FLAIR MR image.
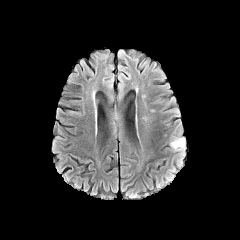
T1-weighted MR.
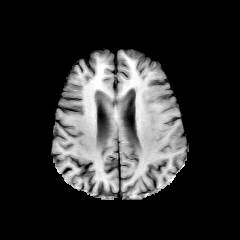
Post-contrast T1-weighted MR.
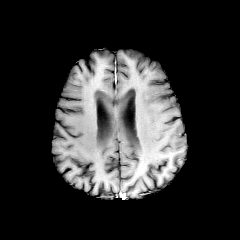
T2-weighted MR image.
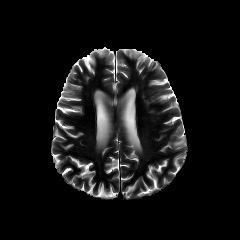
Head | Axial slice
peritumoral edema: [171,137,187,149]